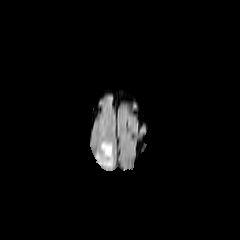
FLAIR MR image.
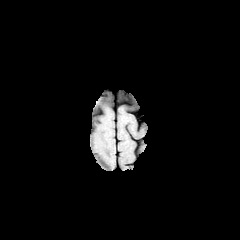
Same slice, T1-weighted MR image.
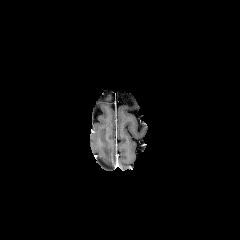
Post-contrast T1-weighted magnetic resonance of the same slice.
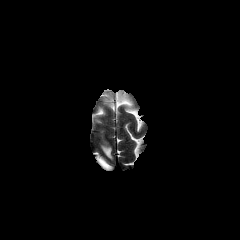
T2-weighted MR.
Axial plane; Brain
peritumoral edema: x1=97 y1=142 x2=112 y2=169